Axial view. Head.
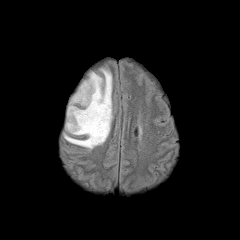
FLAIR MRI.
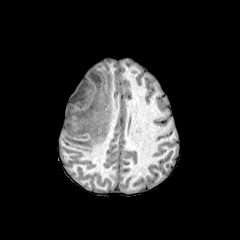
Same slice, T1-weighted MR.
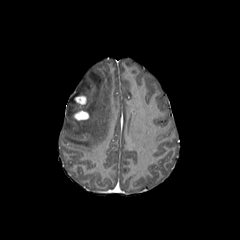
Post-contrast T1-weighted MRI of the same slice.
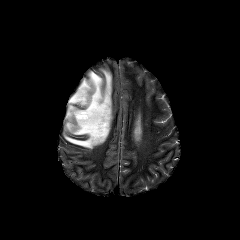
T2-weighted MRI.
peritumoral edema = 64,68,112,149
enhancing tumor = 75,95,86,104; 74,110,88,120